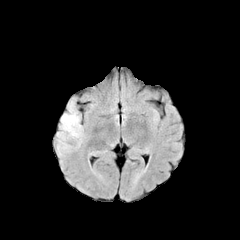
FLAIR MRI.
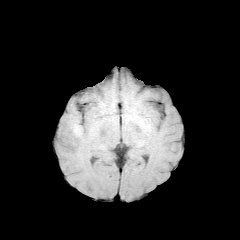
T1-weighted magnetic resonance.
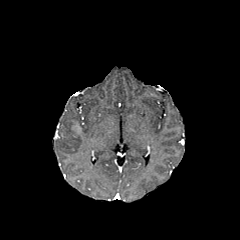
Post-contrast T1-weighted MR.
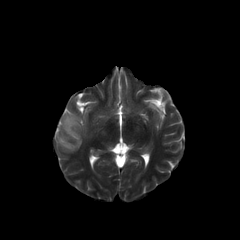
T2-weighted MR image.
Head, 240x240 px
The enhancing tumor is bounded by [71, 123, 80, 132]. The peritumoral edema is bounded by [56, 95, 84, 155].